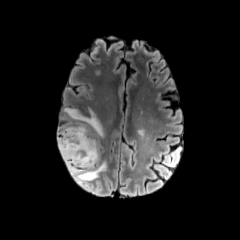
FLAIR magnetic resonance.
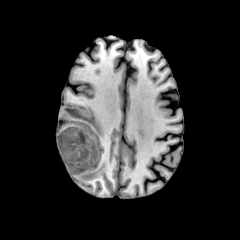
Same slice, T1-weighted MR image.
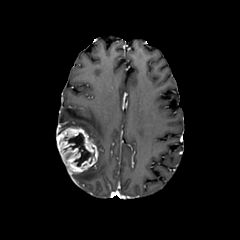
Post-contrast T1-weighted MR of the same slice.
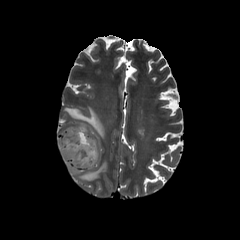
T2-weighted MRI of the same slice.
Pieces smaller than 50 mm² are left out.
peritumoral edema at box(58, 107, 106, 183)
necrotic tumor core at box(68, 133, 94, 166)
enhancing tumor at box(56, 127, 98, 174)